Brain. Slice index 47.
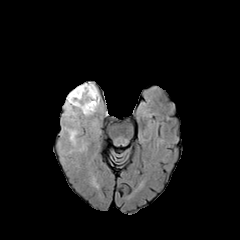
FLAIR magnetic resonance.
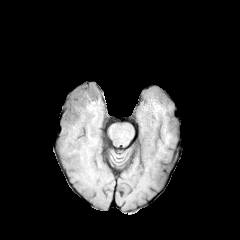
T1-weighted MR.
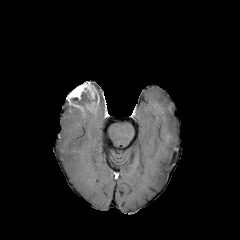
Post-contrast T1-weighted magnetic resonance.
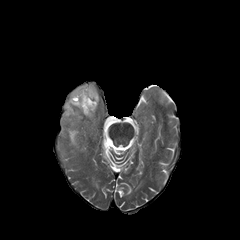
T2-weighted MRI.
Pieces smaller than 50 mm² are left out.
necrotic_tumor_core:
  - 71, 92, 91, 106
enhancing_tumor:
  - 66, 82, 99, 114
peritumoral_edema:
  - 64, 101, 82, 119
  - 68, 129, 78, 145